Image covers 240 mm x 240 mm; Slice 54/155; Axial slice
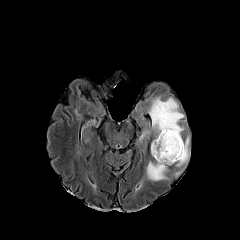
FLAIR MR image.
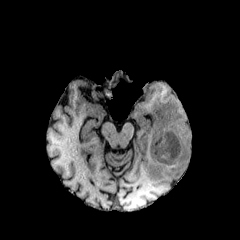
Same slice, T1-weighted magnetic resonance.
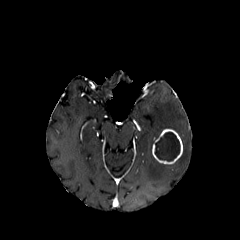
Post-contrast T1-weighted MR.
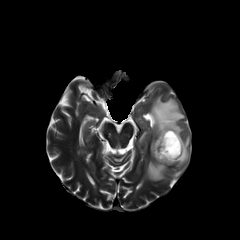
T2-weighted MR image.
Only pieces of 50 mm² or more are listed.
necrotic tumor core = bbox(155, 132, 179, 161)
enhancing tumor = bbox(152, 129, 182, 164)
peritumoral edema = bbox(172, 135, 190, 178); bbox(139, 96, 184, 141); bbox(146, 160, 170, 181)